240x240 px, Axial slice, Slice 81 of 155
FLAIR MRI.
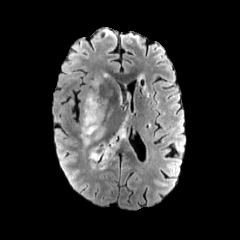
T1-weighted MR image.
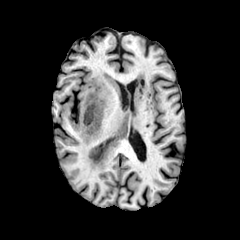
Post-contrast T1-weighted magnetic resonance.
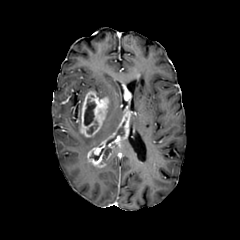
T2-weighted MR image.
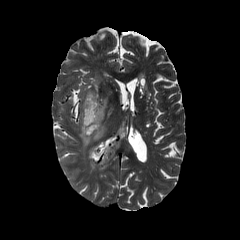
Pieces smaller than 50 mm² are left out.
Findings:
* peritumoral edema: <box>138,74,146,89</box>, <box>92,78,99,95</box>, <box>81,125,104,146</box>
* enhancing tumor: <box>87,113,129,167</box>, <box>80,90,109,137</box>
* necrotic tumor core: <box>87,125,97,133</box>, <box>90,121,125,162</box>, <box>84,99,95,125</box>